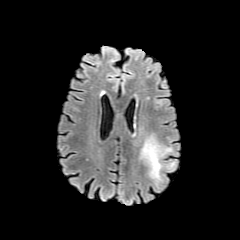
FLAIR magnetic resonance.
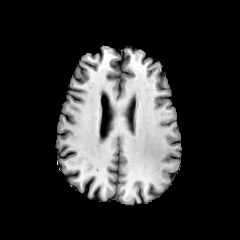
T1-weighted MR image.
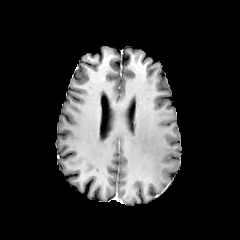
Same slice, post-contrast T1-weighted MR image.
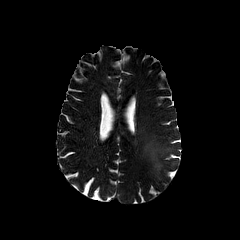
T2-weighted magnetic resonance of the same slice.
peritumoral edema: 141,140,171,179